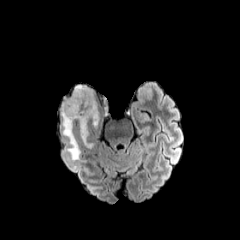
FLAIR MRI.
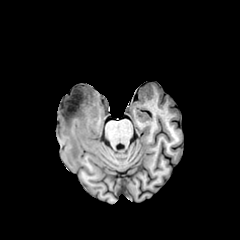
T1-weighted MRI.
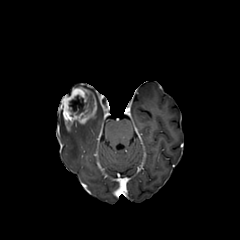
Same slice, post-contrast T1-weighted MR image.
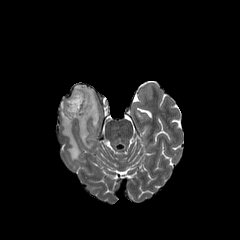
T2-weighted MRI.
Head | Axial slice
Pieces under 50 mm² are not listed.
Findings:
* peritumoral edema: [62,118,80,160], [92,105,98,127], [79,123,92,148]
* necrotic tumor core: [69,95,86,114], [88,95,93,110]
* enhancing tumor: [59,86,96,131]